240x240
FLAIR MRI.
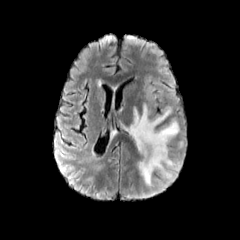
T1-weighted MR.
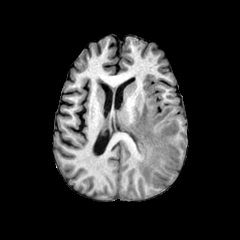
Post-contrast T1-weighted MRI.
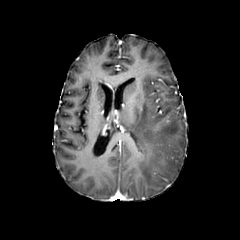
T2-weighted MR.
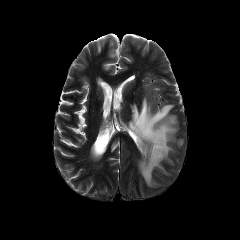
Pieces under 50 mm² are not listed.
{
  "peritumoral_edema": [
    "bbox(128, 103, 178, 186)"
  ]
}